240x240.
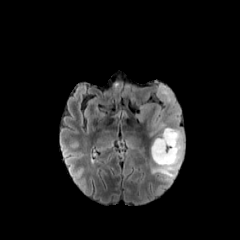
FLAIR MRI.
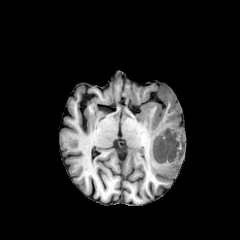
T1-weighted MR image of the same slice.
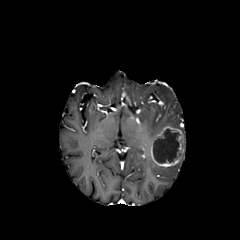
Post-contrast T1-weighted MR image of the same slice.
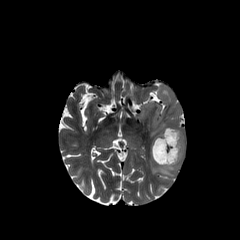
T2-weighted MR.
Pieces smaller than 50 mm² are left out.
enhancing tumor = (150,126,184,167)
necrotic tumor core = (153,129,179,163)
peritumoral edema = (135,83,184,138), (151,157,182,181)